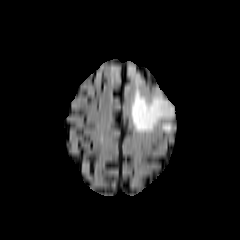
FLAIR MRI.
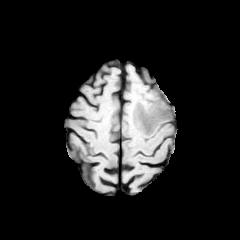
T1-weighted MR image.
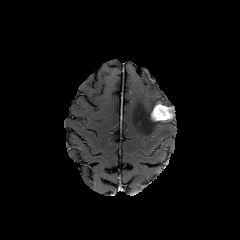
Post-contrast T1-weighted magnetic resonance of the same slice.
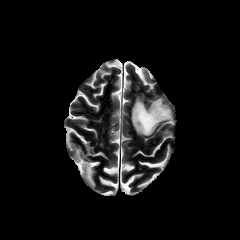
T2-weighted magnetic resonance of the same slice.
Image size 240x240; Brain
peritumoral edema: bounding box region(131, 90, 170, 134); region(162, 122, 171, 132)
enhancing tumor: bounding box region(150, 101, 174, 121)